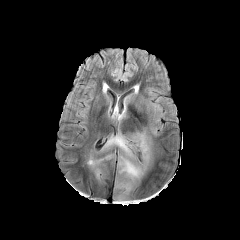
FLAIR MR image.
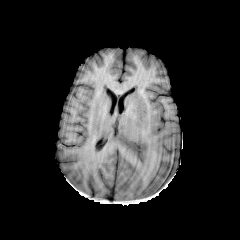
T1-weighted MR image.
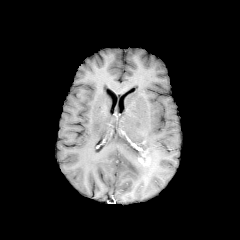
Post-contrast T1-weighted MR image.
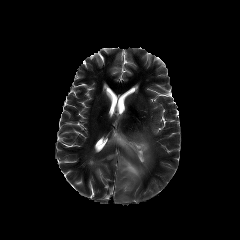
T2-weighted MR image.
Head
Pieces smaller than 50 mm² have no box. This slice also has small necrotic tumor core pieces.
enhancing tumor = (left=139, top=157, right=149, bottom=164)
peritumoral edema = (left=104, top=132, right=147, bottom=190), (left=129, top=133, right=150, bottom=158), (left=88, top=159, right=97, bottom=165)